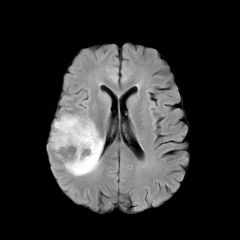
FLAIR magnetic resonance.
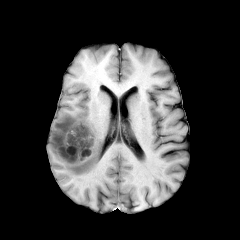
T1-weighted MRI of the same slice.
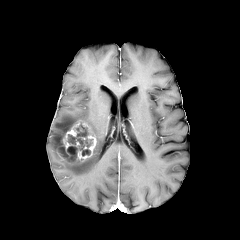
Post-contrast T1-weighted magnetic resonance of the same slice.
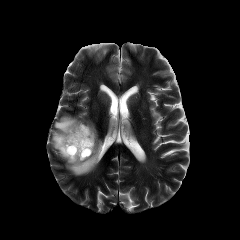
T2-weighted MRI.
Axial plane; 240x240
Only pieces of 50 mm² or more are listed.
peritumoral edema = <box>50,114,103,176</box>
necrotic tumor core = <box>68,123,91,156</box>, <box>67,146,77,154</box>, <box>59,146,76,160</box>
enhancing tumor = <box>57,121,96,165</box>